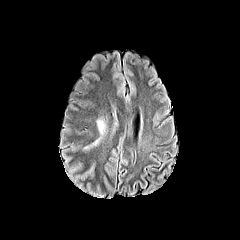
FLAIR magnetic resonance.
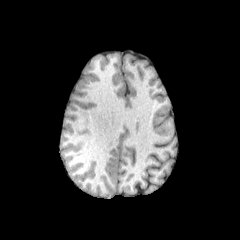
T1-weighted MR image.
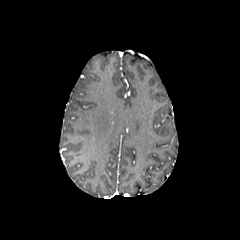
Post-contrast T1-weighted MR image of the same slice.
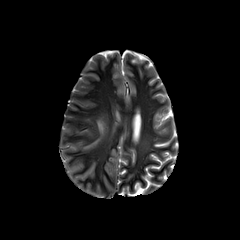
T2-weighted MRI of the same slice.
Head; Axial view
The peritumoral edema lies within x1=83 y1=116 x2=106 y2=150.